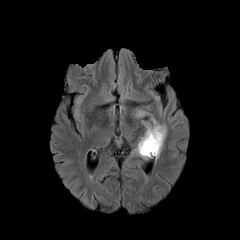
FLAIR MR image.
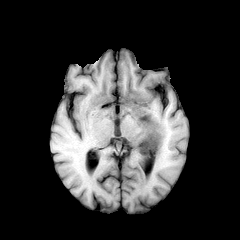
T1-weighted magnetic resonance of the same slice.
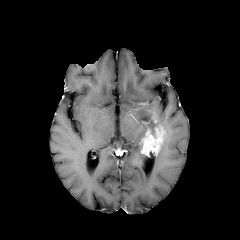
Same slice, post-contrast T1-weighted MRI.
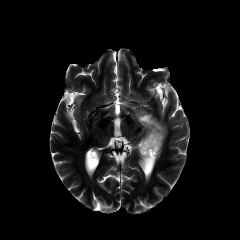
Same slice, T2-weighted magnetic resonance.
Head, 240x240 px
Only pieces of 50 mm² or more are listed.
enhancing_tumor:
  - left=139, top=111, right=167, bottom=156
peritumoral_edema:
  - left=134, top=141, right=147, bottom=158
  - left=135, top=110, right=146, bottom=117
necrotic_tumor_core:
  - left=147, top=120, right=156, bottom=137